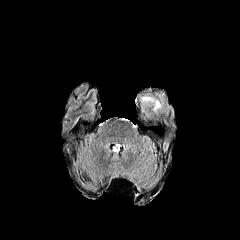
FLAIR MR.
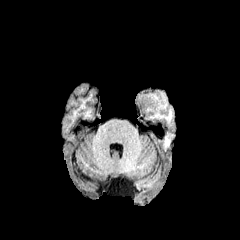
T1-weighted MRI.
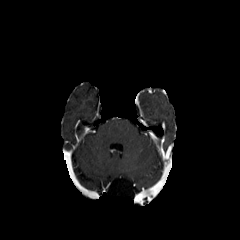
Same slice, post-contrast T1-weighted MR.
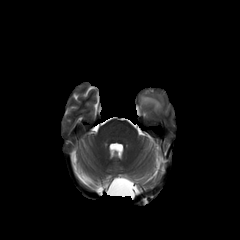
T2-weighted MRI of the same slice.
<segmentation>
  <peritumoral_edema>[x1=140, y1=95, x2=163, y2=113]</peritumoral_edema>
</segmentation>